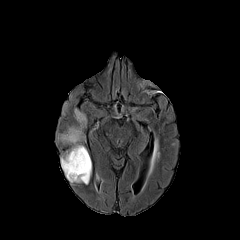
FLAIR MRI.
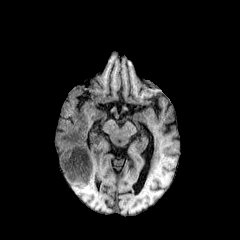
T1-weighted MRI.
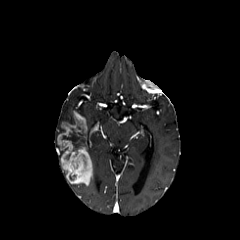
Post-contrast T1-weighted MR.
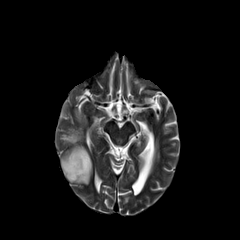
T2-weighted MR image.
Axial slice | Brain
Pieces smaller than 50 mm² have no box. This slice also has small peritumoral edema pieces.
necrotic tumor core: bbox(62, 128, 83, 150) | enhancing tumor: bbox(57, 111, 92, 185)